Head. Slice 123 of 155.
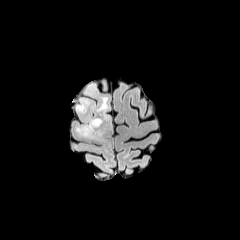
FLAIR MR.
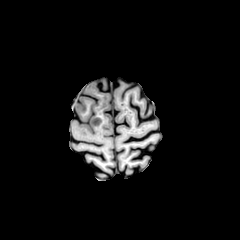
T1-weighted magnetic resonance of the same slice.
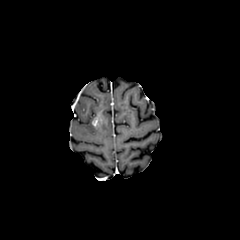
Post-contrast T1-weighted MR.
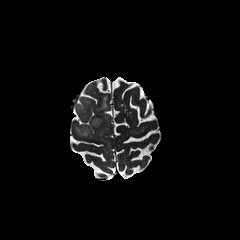
T2-weighted MR.
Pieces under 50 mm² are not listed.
enhancing tumor at 92:105:104:127
peritumoral edema at 100:96:110:121, 77:100:89:112, 76:119:103:137